FLAIR MR image.
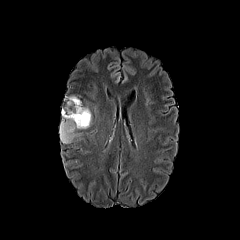
T1-weighted magnetic resonance.
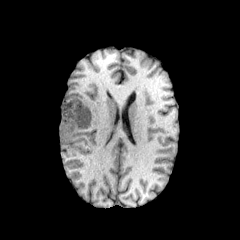
Post-contrast T1-weighted MR.
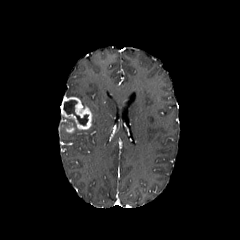
T2-weighted MR.
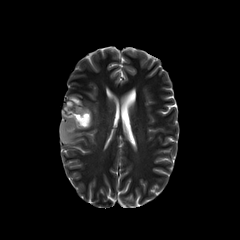
Axial slice.
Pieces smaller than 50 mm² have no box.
peritumoral_edema:
  - 60, 117, 80, 143
necrotic_tumor_core:
  - 63, 100, 88, 125
enhancing_tumor:
  - 61, 97, 92, 129